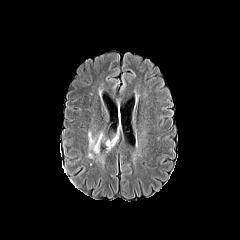
FLAIR MRI.
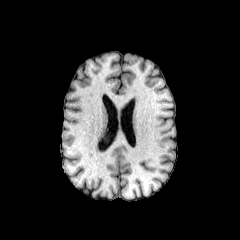
T1-weighted magnetic resonance.
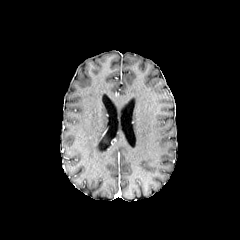
Post-contrast T1-weighted MR.
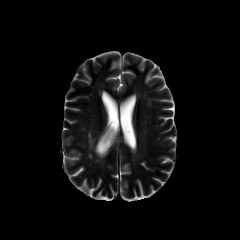
T2-weighted MR image of the same slice.
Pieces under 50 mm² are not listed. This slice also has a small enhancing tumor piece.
The 2 largest peritumoral edema regions are bounded by left=106, top=135, right=117, bottom=150; left=88, top=131, right=102, bottom=153.